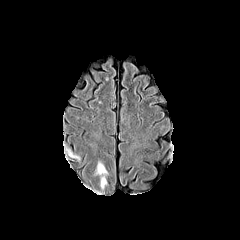
FLAIR MR.
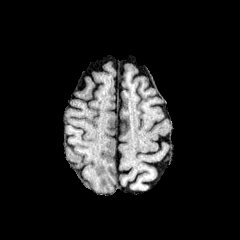
T1-weighted MR image of the same slice.
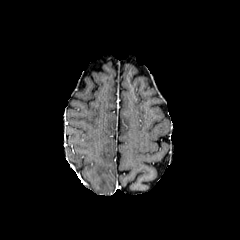
Post-contrast T1-weighted MR.
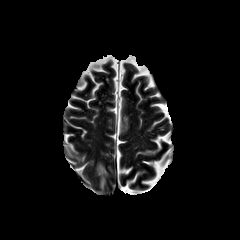
T2-weighted MRI.
Axial slice.
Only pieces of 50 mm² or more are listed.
peritumoral edema at 95:161:107:188